FLAIR MR image.
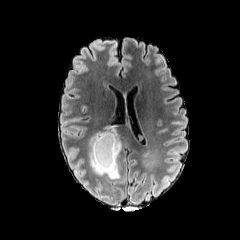
T1-weighted MR image.
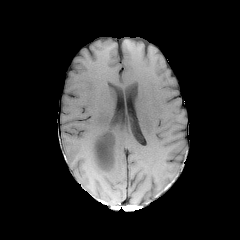
Post-contrast T1-weighted MRI.
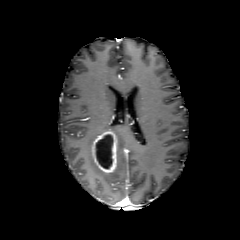
T2-weighted MR.
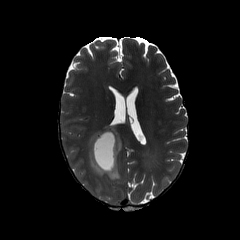
Findings:
* enhancing tumor: box(92, 130, 116, 172)
* necrotic tumor core: box(96, 134, 113, 168)
* peritumoral edema: box(89, 126, 121, 180)